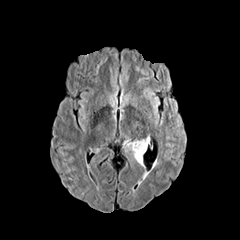
FLAIR MR.
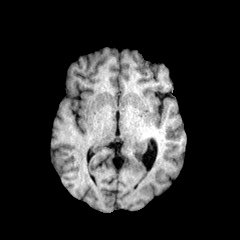
T1-weighted MR.
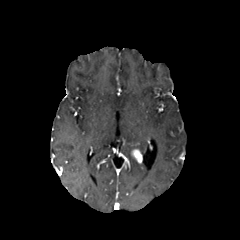
Same slice, post-contrast T1-weighted MR.
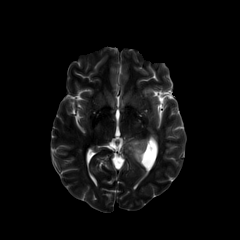
T2-weighted MR image.
Head
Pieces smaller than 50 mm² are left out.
peritumoral edema: bbox=[127, 140, 147, 154] | enhancing tumor: bbox=[131, 148, 142, 163]